FLAIR magnetic resonance.
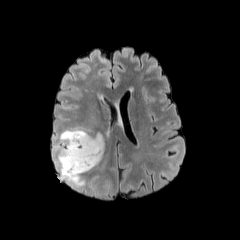
T1-weighted MRI.
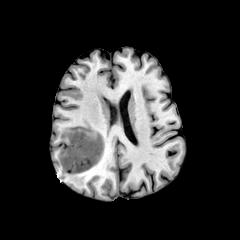
Post-contrast T1-weighted magnetic resonance.
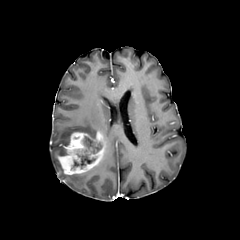
T2-weighted MR image.
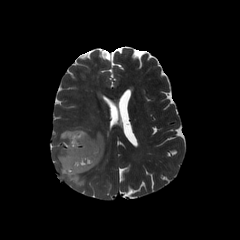
Head; 240x240
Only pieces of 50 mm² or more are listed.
necrotic tumor core — [74,154,95,168], [83,136,101,153]
enhancing tumor — [58,131,106,174]
peritumoral edema — [54,156,84,185], [54,127,90,155]